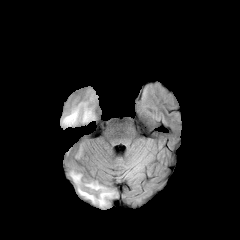
FLAIR MRI.
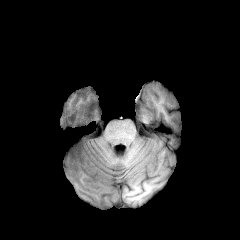
T1-weighted MR.
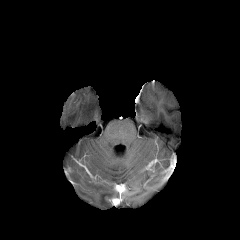
Same slice, post-contrast T1-weighted MR image.
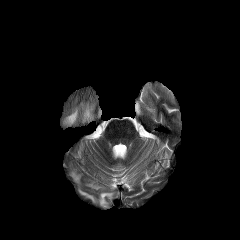
T2-weighted MRI.
Axial view
3 peritumoral edema regions appear at (x1=78, y1=183, x2=114, y2=206), (x1=62, y1=102, x2=94, y2=126), (x1=71, y1=172, x2=80, y2=182).